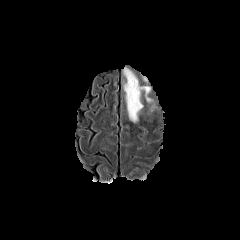
FLAIR MR image.
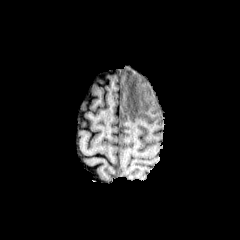
T1-weighted MR image of the same slice.
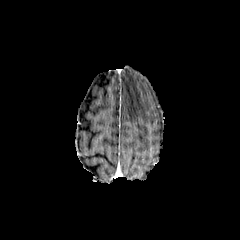
Post-contrast T1-weighted MRI.
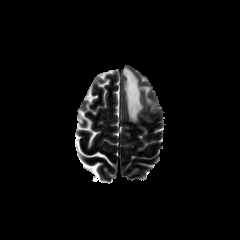
T2-weighted magnetic resonance.
Axial plane
peritumoral edema: x1=123, y1=68, x2=150, y2=122